FLAIR MRI.
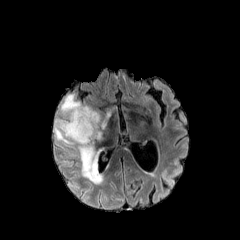
T1-weighted MR image.
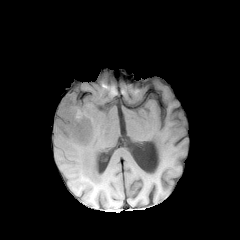
Post-contrast T1-weighted magnetic resonance.
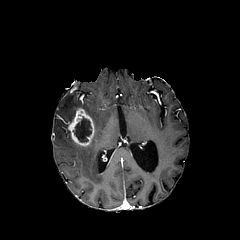
T2-weighted magnetic resonance.
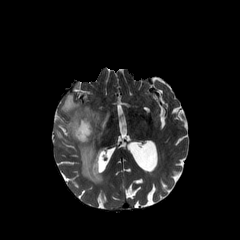
Image size 240x240
{"peritumoral_edema": ["box(54, 94, 111, 183)"], "necrotic_tumor_core": ["box(73, 117, 91, 142)"], "enhancing_tumor": ["box(67, 108, 94, 147)"]}